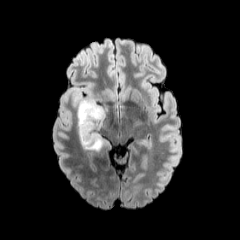
FLAIR magnetic resonance.
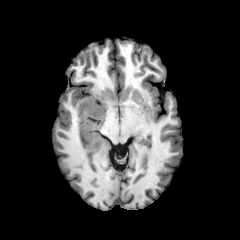
T1-weighted MR of the same slice.
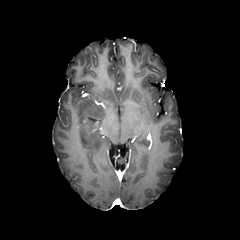
Post-contrast T1-weighted MR.
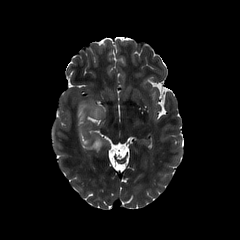
T2-weighted MR.
Brain. Axial view. 240x240 px.
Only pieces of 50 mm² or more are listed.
peritumoral edema — bbox(77, 98, 107, 152)